Brain | Axial view | Slice 97/155
FLAIR MR image.
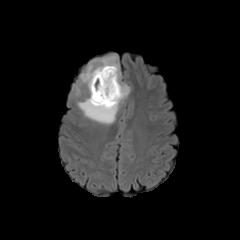
T1-weighted magnetic resonance.
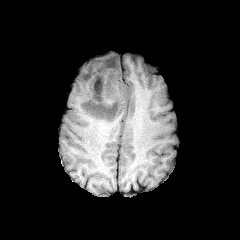
Post-contrast T1-weighted magnetic resonance.
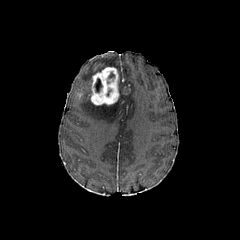
T2-weighted MR.
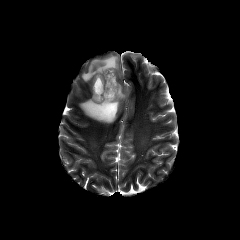
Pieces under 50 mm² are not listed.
- enhancing tumor: 91 67 119 105
- peritumoral edema: 78 55 129 124
- necrotic tumor core: 95 78 102 92